Slice 67 of 155 | Image width 240 mm, 1.00 mm slice spacing | Head | Axial slice
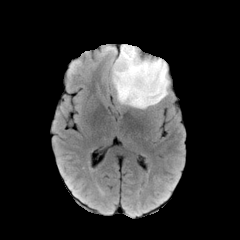
FLAIR MR.
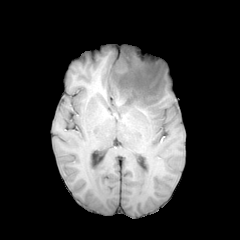
Same slice, T1-weighted magnetic resonance.
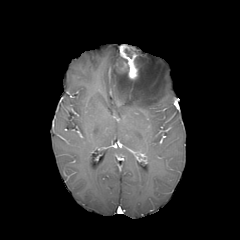
Post-contrast T1-weighted magnetic resonance.
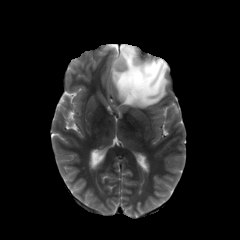
T2-weighted MR image of the same slice.
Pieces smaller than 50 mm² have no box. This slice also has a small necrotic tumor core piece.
The enhancing tumor is bounded by {"x1": 120, "y1": 44, "x2": 138, "y2": 79}. The peritumoral edema appears at {"x1": 112, "y1": 56, "x2": 169, "y2": 108}.